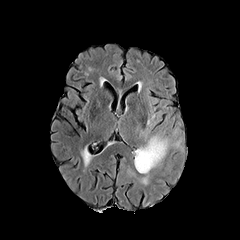
FLAIR MRI.
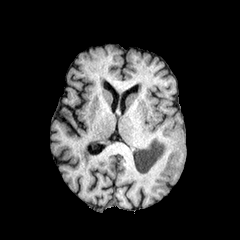
T1-weighted MRI.
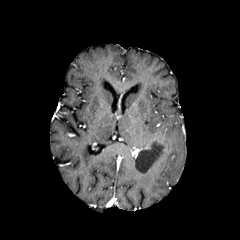
Post-contrast T1-weighted MR.
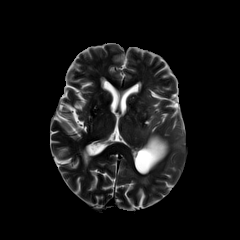
T2-weighted MR.
Axial slice. Head.
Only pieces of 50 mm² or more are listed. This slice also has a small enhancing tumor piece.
The largest peritumoral edema region is located at 134,134,168,173. The necrotic tumor core is bounded by 135,142,164,172.